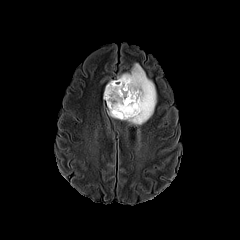
FLAIR MR.
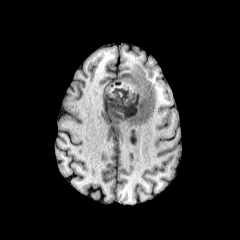
T1-weighted MRI of the same slice.
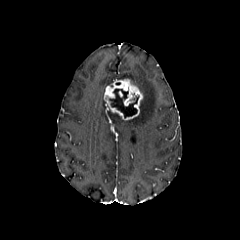
Same slice, post-contrast T1-weighted MRI.
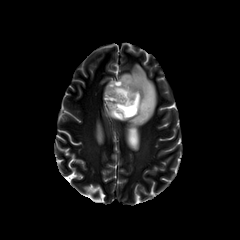
T2-weighted MR of the same slice.
Axial slice.
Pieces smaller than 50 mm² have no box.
peritumoral edema = [110, 112, 124, 120], [117, 63, 156, 125]
enhancing tumor = [104, 79, 143, 120]
necrotic tumor core = [109, 89, 138, 117]